Slice 46/155; Axial view; Head
FLAIR magnetic resonance.
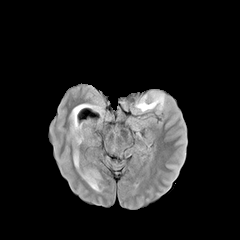
T1-weighted MR.
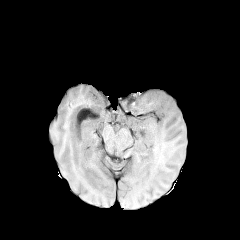
Post-contrast T1-weighted MR image.
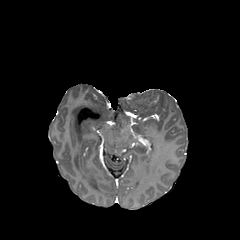
T2-weighted magnetic resonance.
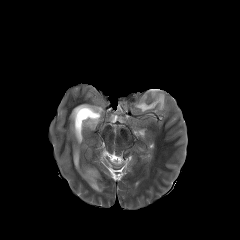
peritumoral edema: region(136, 93, 164, 111)